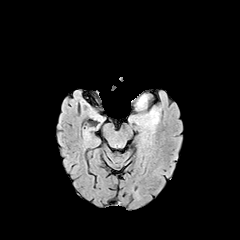
FLAIR MR.
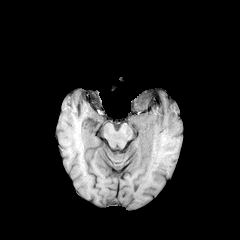
T1-weighted MR of the same slice.
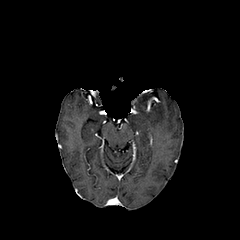
Post-contrast T1-weighted MR image.
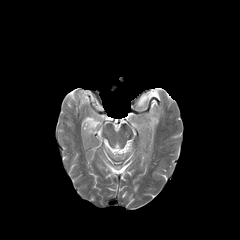
T2-weighted MR image.
Annotated regions:
* peritumoral edema: left=150, top=117, right=158, bottom=128; left=138, top=95, right=146, bottom=105